FLAIR MR.
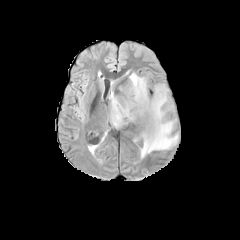
T1-weighted MRI.
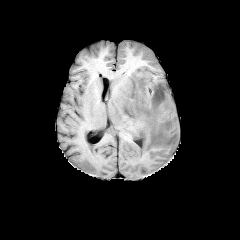
Post-contrast T1-weighted magnetic resonance.
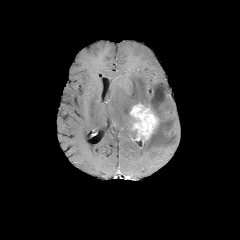
T2-weighted MR image.
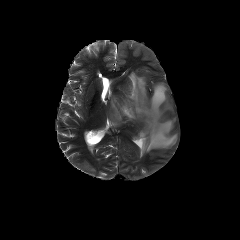
Axial view
{
  "enhancing_tumor": [
    "bbox=[129, 103, 157, 140]"
  ],
  "peritumoral_edema": [
    "bbox=[109, 73, 178, 157]"
  ]
}